Image covers 240 mm x 240 mm. Slice 96/155. Axial plane. Brain.
FLAIR MR.
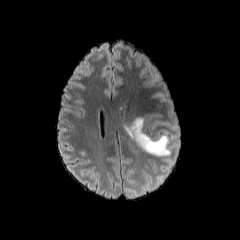
T1-weighted MRI.
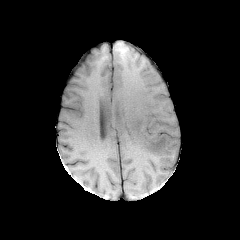
Post-contrast T1-weighted MRI.
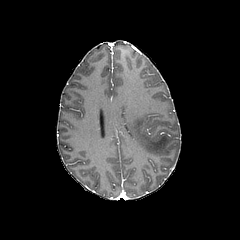
T2-weighted MR image.
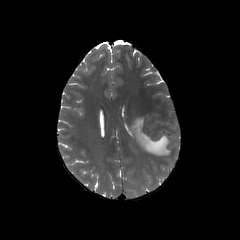
The peritumoral edema is at (x1=126, y1=117, x2=172, y2=157).